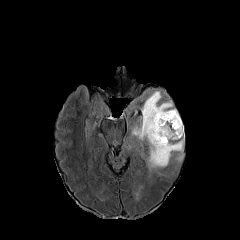
FLAIR magnetic resonance.
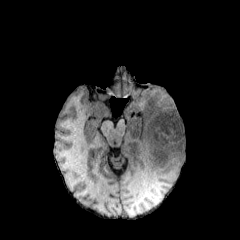
T1-weighted MR image.
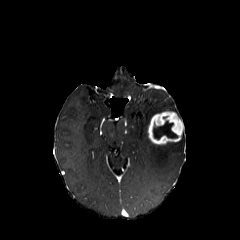
Post-contrast T1-weighted magnetic resonance of the same slice.
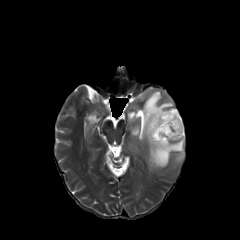
T2-weighted MRI.
Brain | 240x240 px | Axial slice
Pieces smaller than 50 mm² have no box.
Findings:
• necrotic tumor core: (left=153, top=121, right=177, bottom=139)
• enhancing tumor: (left=147, top=111, right=184, bottom=145)
• peritumoral edema: (left=132, top=91, right=184, bottom=170)